Image width 240 mm, 1.00 mm slice spacing
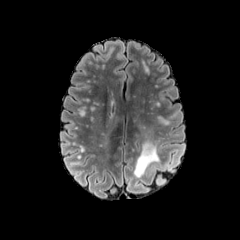
FLAIR MR image.
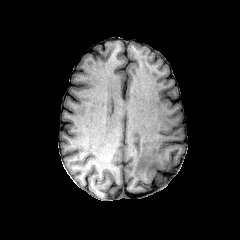
T1-weighted MRI of the same slice.
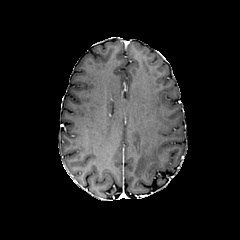
Same slice, post-contrast T1-weighted MRI.
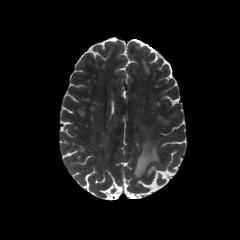
T2-weighted magnetic resonance of the same slice.
The peritumoral edema lies within {"x1": 134, "y1": 140, "x2": 159, "y2": 177}.